Head
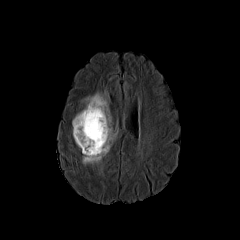
FLAIR MR image.
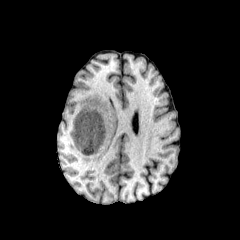
T1-weighted MR image.
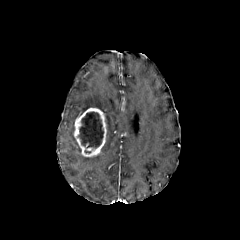
Post-contrast T1-weighted magnetic resonance.
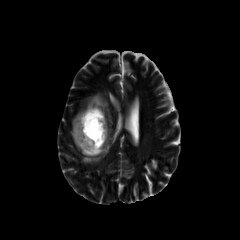
T2-weighted MR image.
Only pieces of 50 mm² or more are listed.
necrotic tumor core: {"x1": 78, "y1": 112, "x2": 103, "y2": 147}
enhancing tumor: {"x1": 73, "y1": 107, "x2": 107, "y2": 156}
peritumoral edema: {"x1": 80, "y1": 92, "x2": 116, "y2": 164}